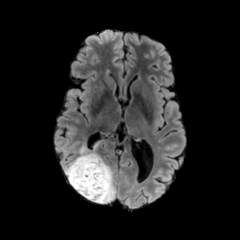
FLAIR MR image.
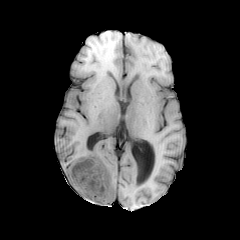
T1-weighted MRI of the same slice.
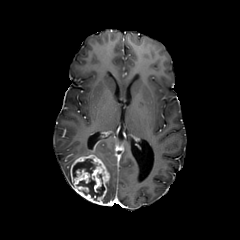
Post-contrast T1-weighted MR image.
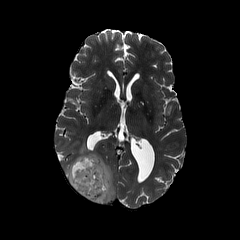
Same slice, T2-weighted magnetic resonance.
Axial slice | Brain | 240x240 px
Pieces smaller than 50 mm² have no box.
The largest enhancing tumor region is bounded by 70:154:109:204. 2 necrotic tumor core regions are bounded by 73:159:96:177, 76:174:104:201. 2 peritumoral edema regions are bounded by 76:141:115:204, 64:161:73:184.